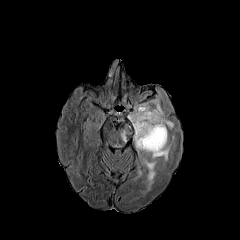
FLAIR MR.
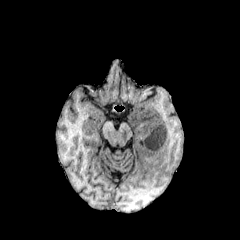
T1-weighted MR.
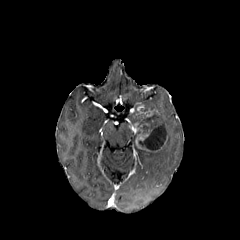
Same slice, post-contrast T1-weighted MR image.
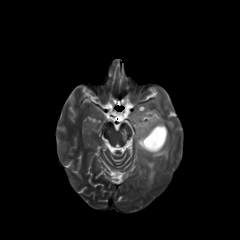
Same slice, T2-weighted MR image.
Image size 240x240; Axial plane
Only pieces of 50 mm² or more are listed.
The largest enhancing tumor region lies within (135, 134, 150, 151). The 4 largest peritumoral edema regions are located at (150, 97, 173, 128), (120, 123, 131, 142), (135, 143, 170, 197), (128, 103, 141, 126). The largest necrotic tumor core region is located at (135, 112, 166, 151).